Image covers 240 mm x 240 mm.
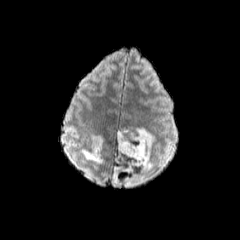
FLAIR MRI.
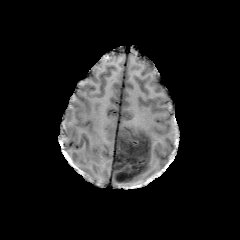
T1-weighted MRI of the same slice.
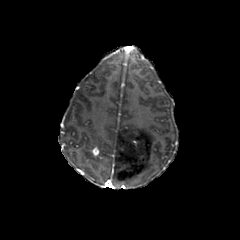
Post-contrast T1-weighted MRI of the same slice.
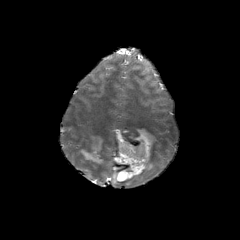
T2-weighted MR of the same slice.
enhancing_tumor:
  - (92,146,99,156)
peritumoral_edema:
  - (112,127,154,185)
  - (81,134,103,163)